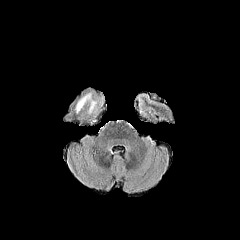
FLAIR MR.
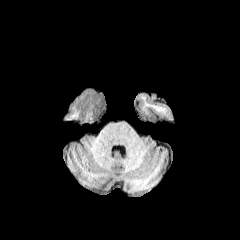
T1-weighted MR image of the same slice.
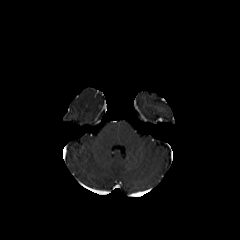
Post-contrast T1-weighted magnetic resonance.
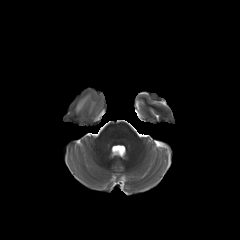
Same slice, T2-weighted magnetic resonance.
Axial plane
The peritumoral edema is at rect(75, 93, 102, 114).